FLAIR MR.
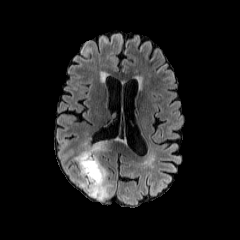
T1-weighted MR image.
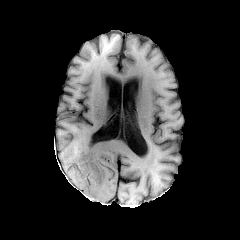
Post-contrast T1-weighted magnetic resonance.
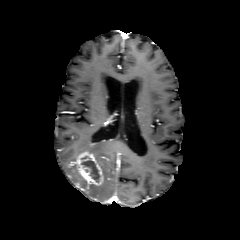
T2-weighted MR.
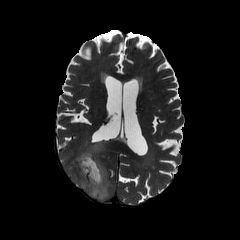
Axial plane.
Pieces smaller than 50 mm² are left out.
peritumoral edema: 68 141 111 200 | necrotic tumor core: 81 160 99 182 | enhancing tumor: 75 151 103 187